Head
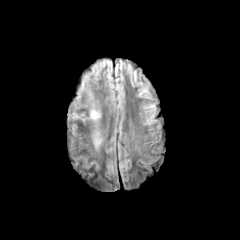
FLAIR MR.
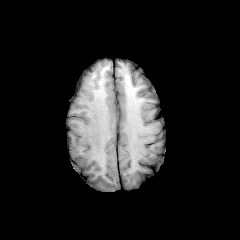
T1-weighted MR image.
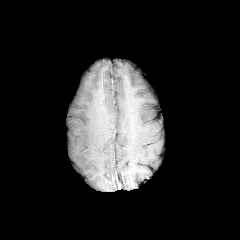
Post-contrast T1-weighted MRI.
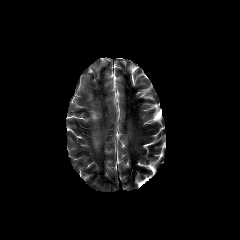
T2-weighted MR.
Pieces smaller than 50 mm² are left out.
Segmented structures:
* peritumoral edema: x1=91, y1=111, x2=98, y2=119